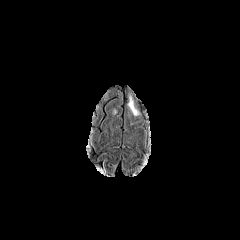
FLAIR MR.
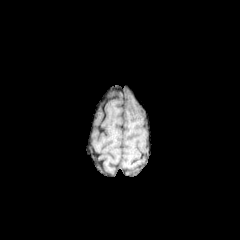
T1-weighted magnetic resonance of the same slice.
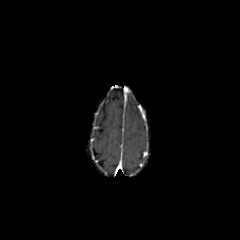
Post-contrast T1-weighted MR.
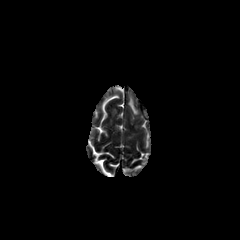
Same slice, T2-weighted MRI.
Brain. 240x240.
peritumoral edema: rect(127, 95, 141, 124)